Head. Slice 60/155.
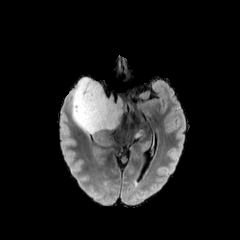
FLAIR MRI.
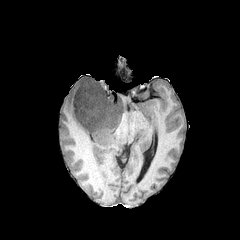
T1-weighted MR image of the same slice.
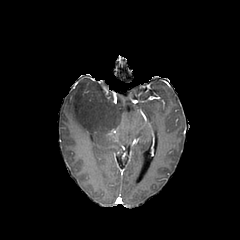
Post-contrast T1-weighted magnetic resonance.
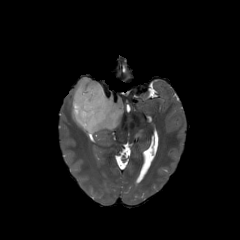
Same slice, T2-weighted MR.
{"peritumoral_edema": ["[72, 76, 127, 140]", "[133, 129, 144, 139]"]}